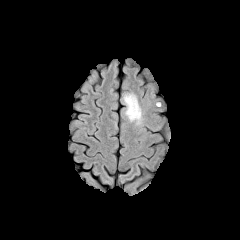
FLAIR magnetic resonance.
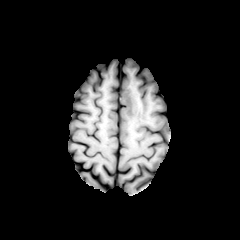
T1-weighted MR image.
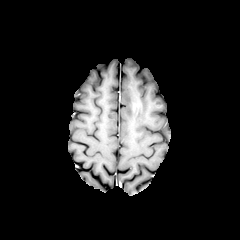
Post-contrast T1-weighted magnetic resonance.
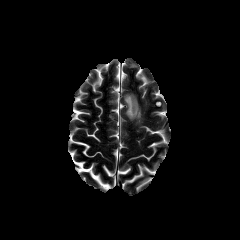
T2-weighted MR of the same slice.
Axial slice, 240x240, Brain
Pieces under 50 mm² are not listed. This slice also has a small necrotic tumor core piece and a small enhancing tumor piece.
The peritumoral edema is located at <box>123,92,142,124</box>.